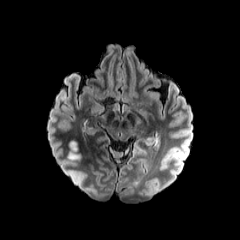
FLAIR magnetic resonance.
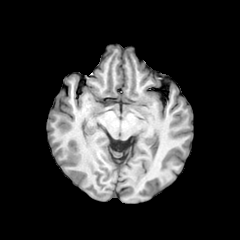
T1-weighted MR image.
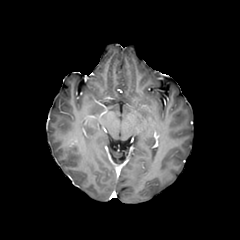
Post-contrast T1-weighted magnetic resonance.
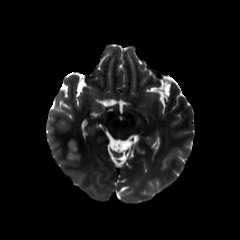
Same slice, T2-weighted MRI.
Brain.
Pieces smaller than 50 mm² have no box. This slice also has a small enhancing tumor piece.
peritumoral_edema:
  - rect(67, 142, 81, 162)